FLAIR MR image.
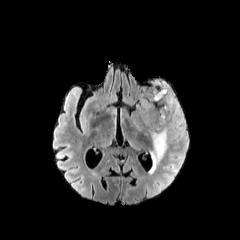
T1-weighted MR image.
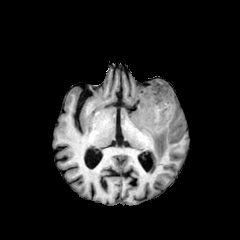
Post-contrast T1-weighted MR.
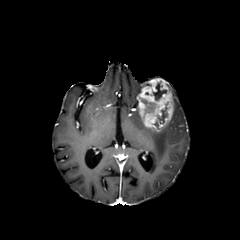
T2-weighted MR image.
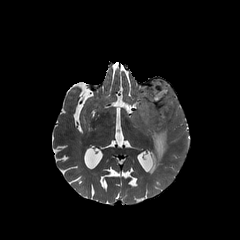
Axial view. Head.
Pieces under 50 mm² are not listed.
enhancing tumor — l=137, t=78, r=173, b=131
necrotic tumor core — l=153, t=83, r=166, b=100; l=157, t=107, r=167, b=123; l=142, t=100, r=154, b=112
peritumoral edema — l=149, t=126, r=167, b=172; l=172, t=92, r=184, b=124